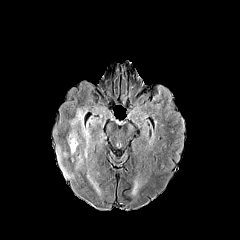
FLAIR magnetic resonance.
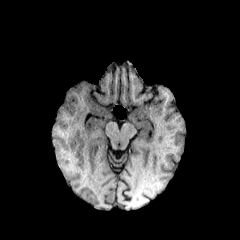
T1-weighted MRI.
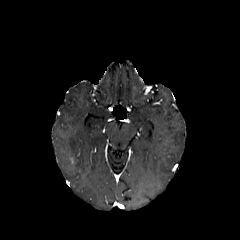
Same slice, post-contrast T1-weighted MRI.
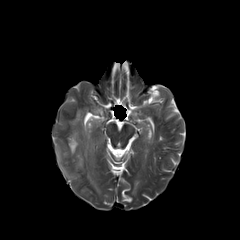
T2-weighted MRI.
Axial plane
4 peritumoral edema regions are located at bbox=[87, 174, 99, 192]; bbox=[56, 145, 73, 177]; bbox=[71, 110, 90, 158]; bbox=[68, 132, 82, 167].